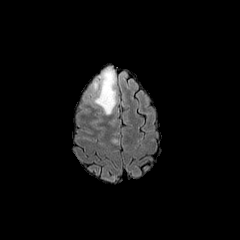
FLAIR MR image.
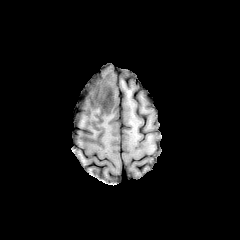
T1-weighted MR image.
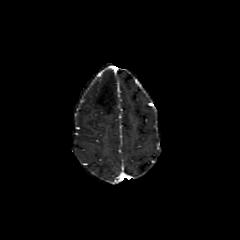
Post-contrast T1-weighted MR.
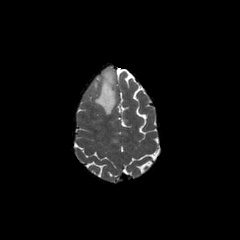
T2-weighted MRI.
Image size 240x240; Head; Axial plane
The peritumoral edema is at box(91, 67, 116, 114).